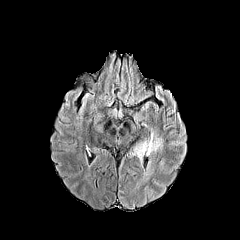
FLAIR magnetic resonance.
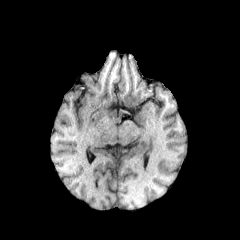
T1-weighted MR image of the same slice.
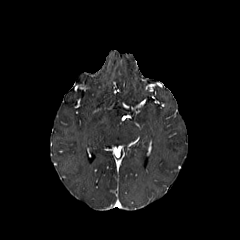
Post-contrast T1-weighted magnetic resonance.
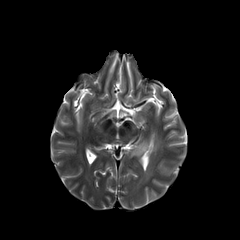
T2-weighted magnetic resonance.
Axial view
peritumoral_edema:
  - (151, 138, 163, 152)
  - (132, 141, 148, 161)